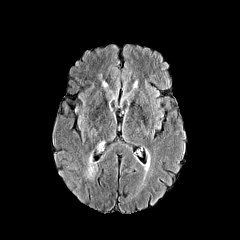
FLAIR magnetic resonance.
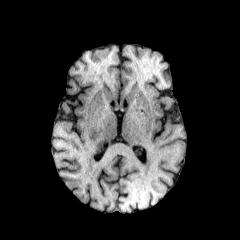
T1-weighted MR.
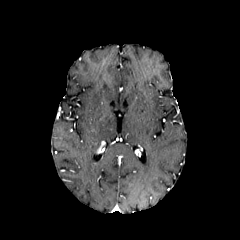
Post-contrast T1-weighted MR image.
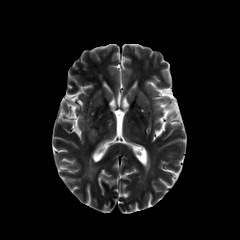
T2-weighted MR image of the same slice.
Image size 240x240; Axial view; Brain
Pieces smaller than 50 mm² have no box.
Segmented structures:
- enhancing tumor: x1=96 y1=140 x2=105 y2=154
- peritumoral edema: x1=85 y1=157 x2=97 y2=180